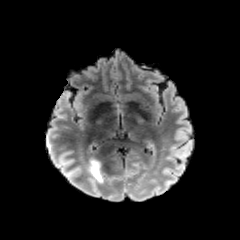
FLAIR MR image.
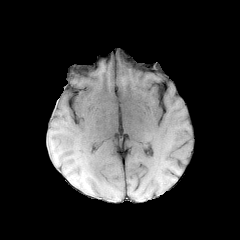
T1-weighted magnetic resonance of the same slice.
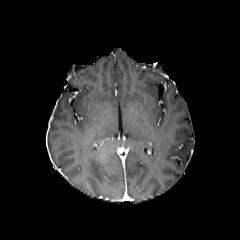
Same slice, post-contrast T1-weighted magnetic resonance.
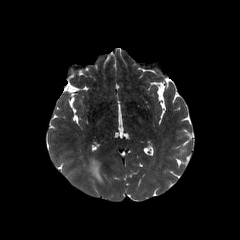
T2-weighted MR image.
Axial plane, Image size 240x240
Annotated regions:
• peritumoral edema: 87:159:103:183